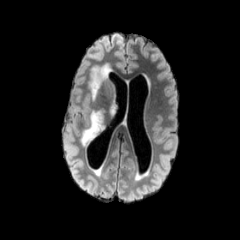
FLAIR MR image.
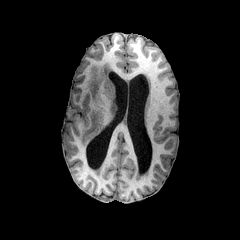
Same slice, T1-weighted magnetic resonance.
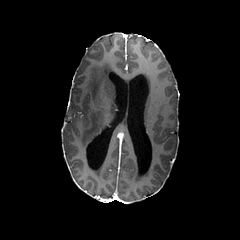
Same slice, post-contrast T1-weighted MRI.
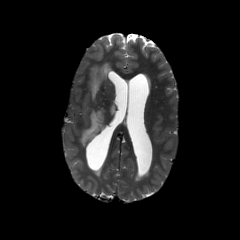
T2-weighted MR image.
Brain
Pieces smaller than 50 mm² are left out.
peritumoral edema: (89, 63, 111, 100), (80, 110, 104, 146)